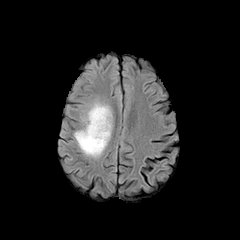
FLAIR MR image.
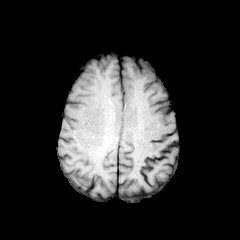
T1-weighted magnetic resonance.
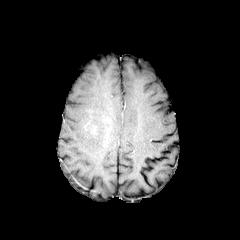
Same slice, post-contrast T1-weighted MRI.
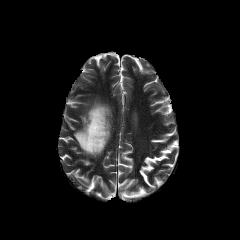
Same slice, T2-weighted MRI.
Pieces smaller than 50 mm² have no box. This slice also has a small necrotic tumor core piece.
peritumoral edema: bounding box [x1=74, y1=102, x2=111, y2=156]
enhancing tumor: bounding box [x1=84, y1=116, x2=103, y2=136]